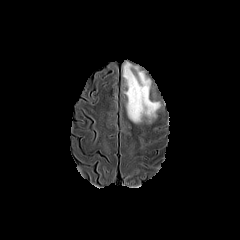
FLAIR magnetic resonance.
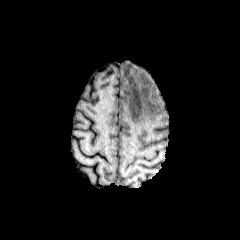
T1-weighted MRI.
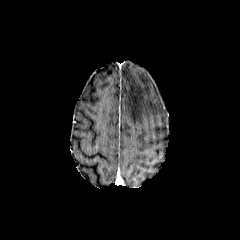
Same slice, post-contrast T1-weighted MRI.
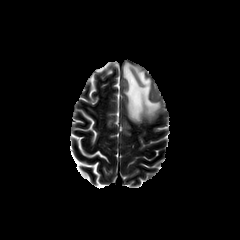
Same slice, T2-weighted MRI.
peritumoral edema: bounding box 123:62:160:122